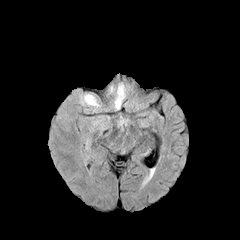
FLAIR MRI.
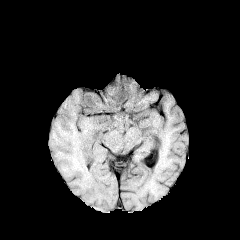
T1-weighted MR image.
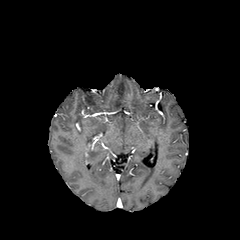
Post-contrast T1-weighted MR.
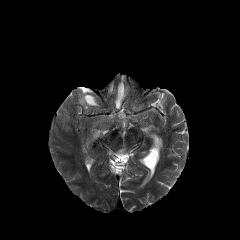
T2-weighted MRI.
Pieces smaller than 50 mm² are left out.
{
  "peritumoral_edema": [
    "rect(114, 83, 126, 109)",
    "rect(80, 94, 98, 107)"
  ]
}